Slice 76 of 155 | Axial plane
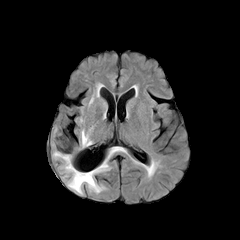
FLAIR magnetic resonance.
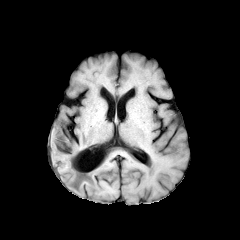
T1-weighted magnetic resonance.
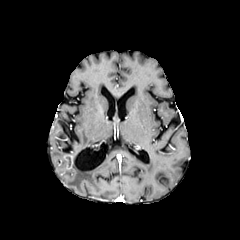
Post-contrast T1-weighted MR image of the same slice.
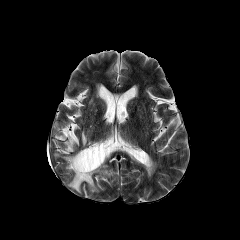
T2-weighted magnetic resonance.
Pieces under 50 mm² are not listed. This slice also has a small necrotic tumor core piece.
* enhancing tumor: bbox=[63, 155, 74, 168]
* peritumoral edema: bbox=[53, 152, 64, 159]; bbox=[61, 147, 121, 192]; bbox=[81, 130, 92, 147]